FLAIR MR.
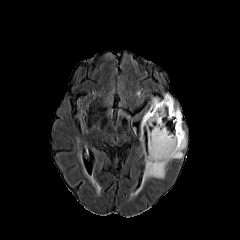
T1-weighted MR.
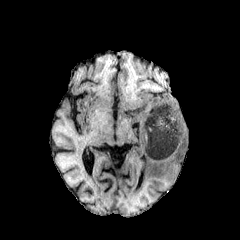
Post-contrast T1-weighted magnetic resonance.
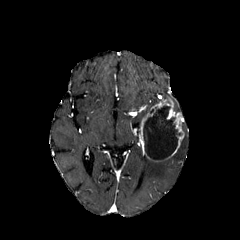
T2-weighted MR.
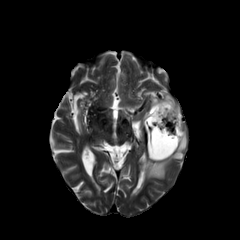
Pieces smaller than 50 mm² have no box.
Annotated regions:
* enhancing tumor: [x1=139, y1=97, x2=184, y2=161]
* peritumoral edema: [x1=140, y1=130, x2=187, y2=188], [x1=164, y1=94, x2=180, y2=111], [x1=150, y1=98, x2=161, y2=108]
* necrotic tumor core: [x1=143, y1=106, x2=181, y2=159]